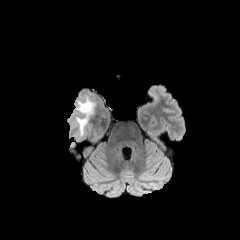
FLAIR MR.
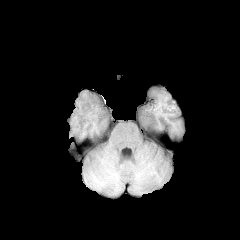
Same slice, T1-weighted MR.
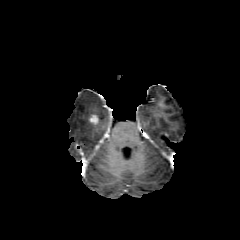
Same slice, post-contrast T1-weighted MRI.
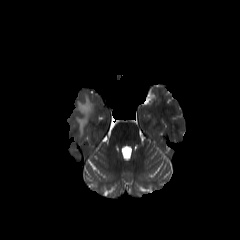
T2-weighted MR.
Axial view | Head
Segmented structures:
* peritumoral edema: (x1=75, y1=95, x2=94, y2=136)
* enhancing tumor: (x1=89, y1=114, x2=98, y2=124)